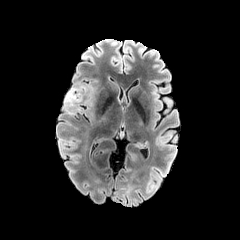
FLAIR MR.
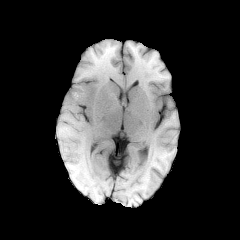
T1-weighted MRI.
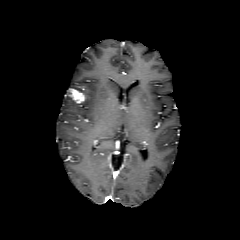
Same slice, post-contrast T1-weighted MR image.
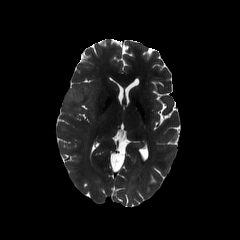
T2-weighted magnetic resonance of the same slice.
Head | Axial view
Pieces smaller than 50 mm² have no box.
peritumoral edema: (x1=65, y1=91, x2=75, y2=103)
enhancing tumor: (x1=69, y1=89, x2=84, y2=103)